Image covers 240 mm x 240 mm. Slice 77/155.
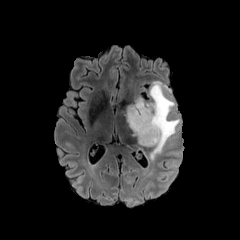
FLAIR MR image.
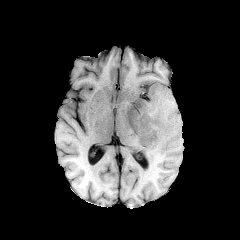
Same slice, T1-weighted MR image.
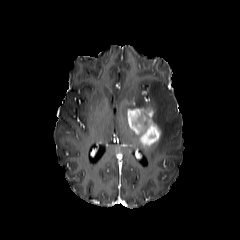
Post-contrast T1-weighted MRI.
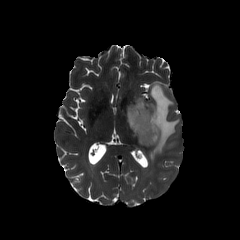
T2-weighted MR image.
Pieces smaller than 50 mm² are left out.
* peritumoral edema: [128, 81, 180, 159]
* enhancing tumor: [126, 104, 161, 146]